Brain; 240x240; Axial plane
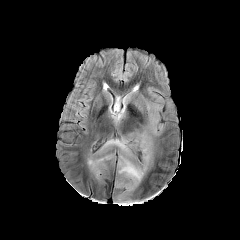
FLAIR MR image.
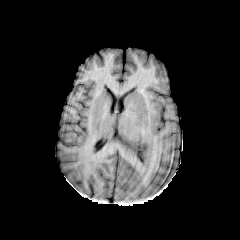
T1-weighted magnetic resonance.
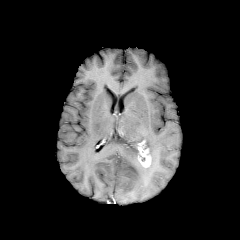
Post-contrast T1-weighted MR.
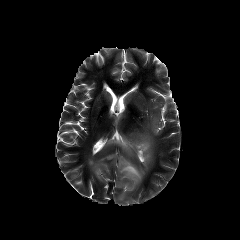
T2-weighted MR image of the same slice.
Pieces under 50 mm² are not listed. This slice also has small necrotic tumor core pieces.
The 3 largest peritumoral edema regions are bounded by [103,131,152,191], [150,113,163,135], [88,155,114,173]. The enhancing tumor appears at [135,140,150,167].